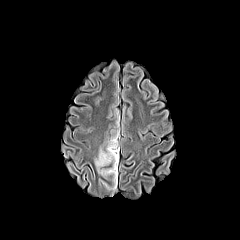
FLAIR MRI.
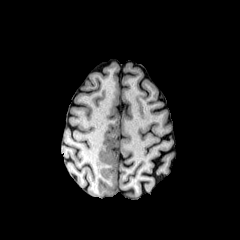
T1-weighted MR.
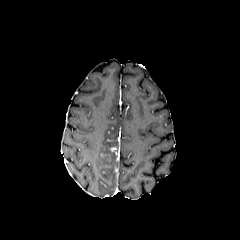
Post-contrast T1-weighted magnetic resonance of the same slice.
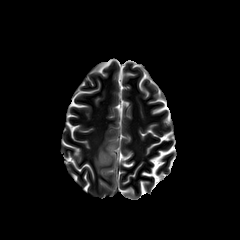
T2-weighted MR image.
Axial plane, Head
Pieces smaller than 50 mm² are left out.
peritumoral edema: x1=95, y1=131, x2=118, y2=181